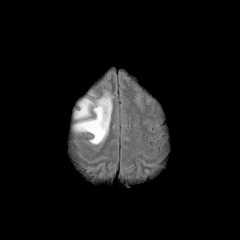
FLAIR magnetic resonance.
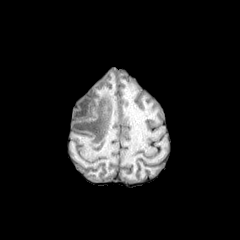
T1-weighted MRI.
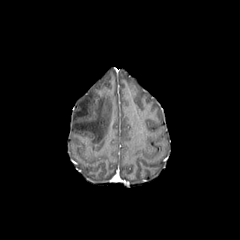
Post-contrast T1-weighted MR of the same slice.
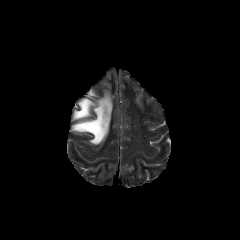
T2-weighted magnetic resonance.
Head
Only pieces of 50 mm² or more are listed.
peritumoral_edema:
  - bbox=[73, 92, 112, 144]